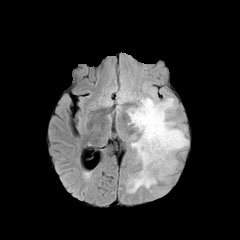
FLAIR MRI.
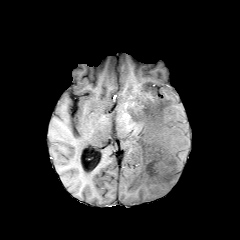
Same slice, T1-weighted MR image.
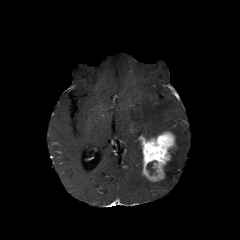
Same slice, post-contrast T1-weighted MR image.
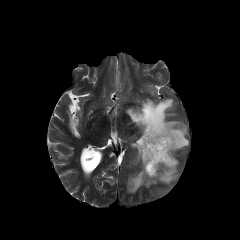
T2-weighted MRI.
Brain. Axial view.
peritumoral edema: bounding box x1=127 y1=98 x2=188 y2=183, x1=130 y1=138 x2=142 y2=167, x1=127 y1=169 x2=157 y2=192
enhancing tumor: bounding box x1=139 y1=131 x2=176 y2=181
necrotic tumor core: bounding box x1=147 y1=162 x2=154 y2=174